Head | Axial view
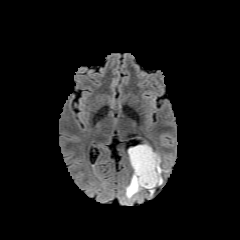
FLAIR MR image.
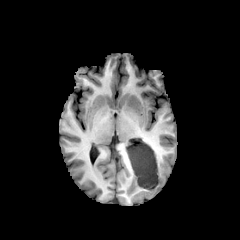
Same slice, T1-weighted MR image.
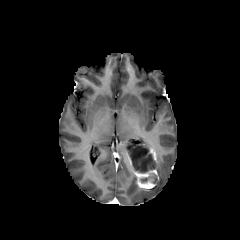
Same slice, post-contrast T1-weighted MR image.
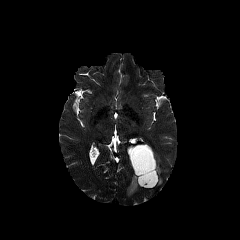
Same slice, T2-weighted magnetic resonance.
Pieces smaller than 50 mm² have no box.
enhancing_tumor:
  - [128, 155, 158, 188]
  - [149, 147, 157, 163]
necrotic_tumor_core:
  - [128, 145, 156, 172]
peritumoral_edema:
  - [156, 153, 167, 185]
  - [126, 174, 141, 198]